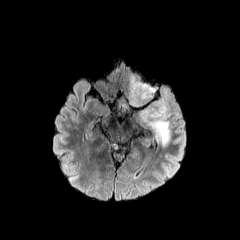
FLAIR magnetic resonance.
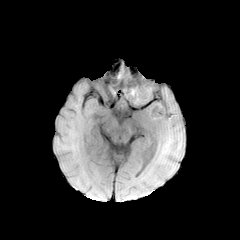
T1-weighted magnetic resonance.
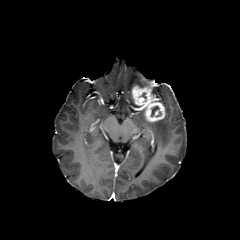
Post-contrast T1-weighted magnetic resonance.
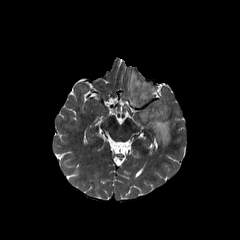
T2-weighted magnetic resonance of the same slice.
Axial view
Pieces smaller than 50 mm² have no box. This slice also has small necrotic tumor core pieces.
Segmented structures:
- enhancing tumor: (131,83,166,122)
- peritumoral edema: (129,75,156,107), (139,99,170,148)